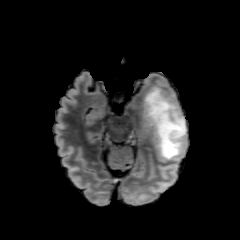
FLAIR MR image.
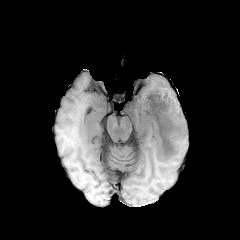
T1-weighted MR image of the same slice.
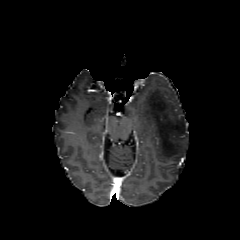
Post-contrast T1-weighted MR.
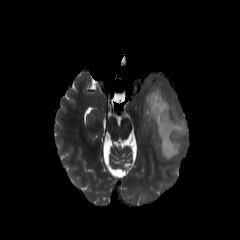
T2-weighted MR image of the same slice.
Brain
The peritumoral edema is bounded by [x1=143, y1=86, x2=186, y2=160].